FLAIR magnetic resonance.
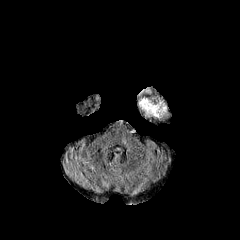
T1-weighted MRI.
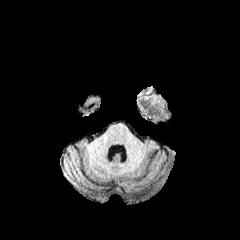
Post-contrast T1-weighted MR.
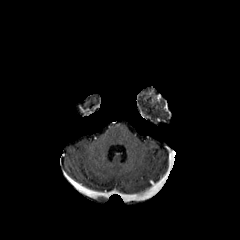
T2-weighted MRI.
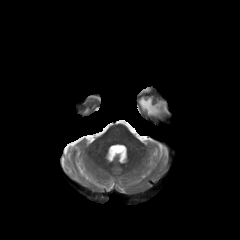
Axial slice | Brain
peritumoral edema at bbox(139, 98, 166, 117)